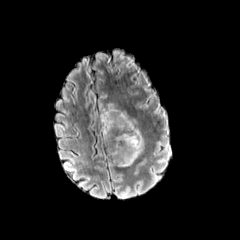
FLAIR MR.
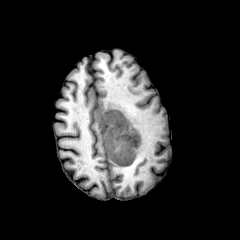
T1-weighted MR image.
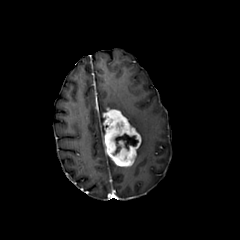
Same slice, post-contrast T1-weighted MR.
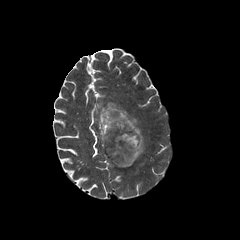
T2-weighted MR.
Brain
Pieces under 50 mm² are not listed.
necrotic tumor core: bbox=[113, 133, 138, 154]
peritumoral edema: bbox=[100, 103, 143, 158]
enhancing tumor: bbox=[102, 108, 141, 167]